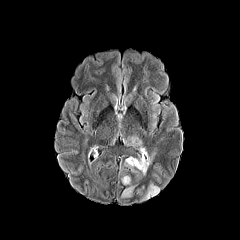
FLAIR MR image.
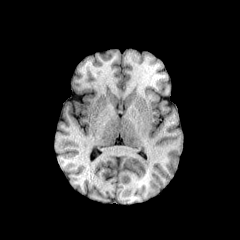
T1-weighted MR image of the same slice.
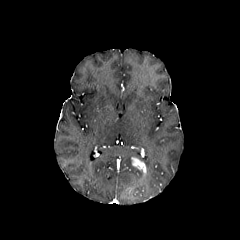
Post-contrast T1-weighted magnetic resonance.
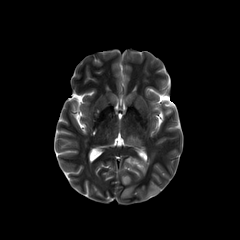
T2-weighted MR image.
Brain, Axial slice
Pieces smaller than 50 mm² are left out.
Annotated regions:
- peritumoral edema: box(140, 156, 151, 168); box(122, 176, 130, 184); box(143, 184, 159, 199); box(125, 137, 141, 145); box(121, 186, 134, 197)
- enhancing tumor: box(131, 157, 146, 175)